Axial plane; Head
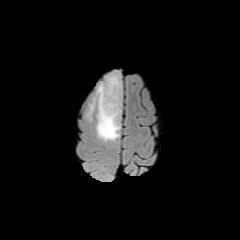
FLAIR MRI.
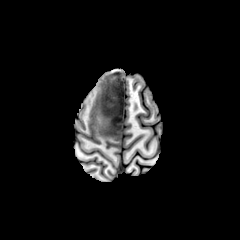
T1-weighted MR.
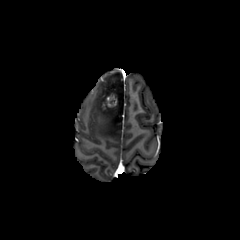
Post-contrast T1-weighted MRI.
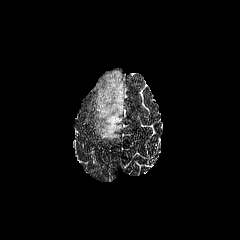
T2-weighted MRI.
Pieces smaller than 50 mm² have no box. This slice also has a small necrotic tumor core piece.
The peritumoral edema is located at [88,72,122,142]. The largest enhancing tumor region lies within [106,94,116,106].